FLAIR MR.
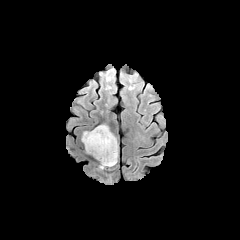
T1-weighted MR.
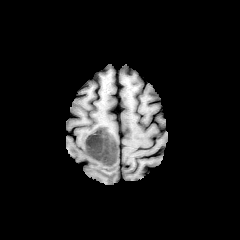
Post-contrast T1-weighted MR image.
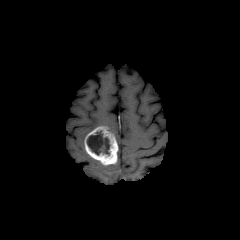
T2-weighted MRI.
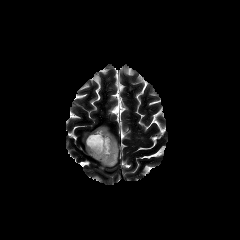
240x240 px
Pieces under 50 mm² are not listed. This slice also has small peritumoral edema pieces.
{"necrotic_tumor_core": ["(left=87, top=131, right=109, bottom=154)"], "enhancing_tumor": ["(left=84, top=126, right=118, bottom=165)"]}